FLAIR MRI.
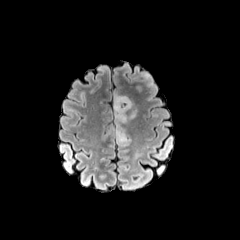
T1-weighted MR.
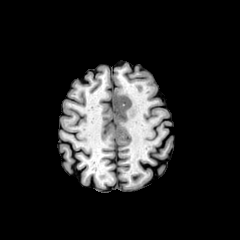
Post-contrast T1-weighted MRI.
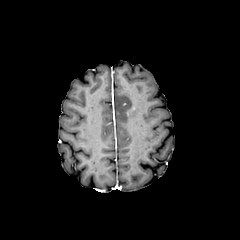
T2-weighted MRI.
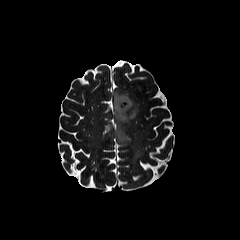
Axial view; Brain
<segmentation>
  <peritumoral_edema>bbox=[113, 92, 136, 121]</peritumoral_edema>
</segmentation>